FLAIR MR.
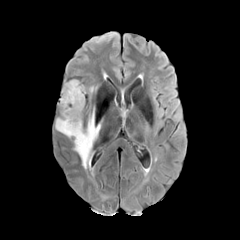
T1-weighted MRI.
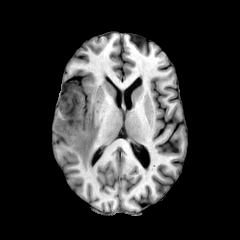
Post-contrast T1-weighted MRI.
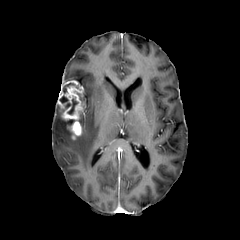
T2-weighted MRI.
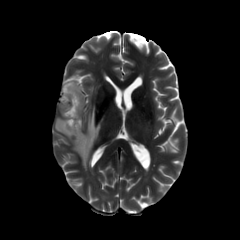
Axial slice
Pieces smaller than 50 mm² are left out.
peritumoral edema at x1=55, y1=118, x2=73, y2=138; x1=73, y1=108, x2=100, y2=169
necrotic tumor core at x1=60, y1=96, x2=77, y2=114; x1=63, y1=83, x2=74, y2=93
enhancing tumor at x1=58, y1=80, x2=83, y2=138